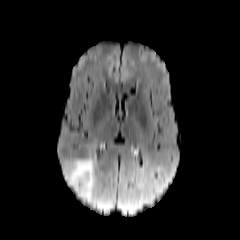
FLAIR MR image.
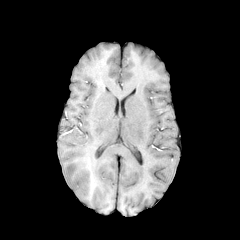
T1-weighted magnetic resonance.
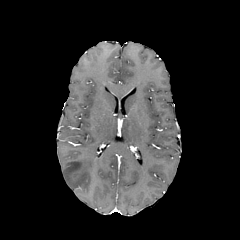
Post-contrast T1-weighted MRI of the same slice.
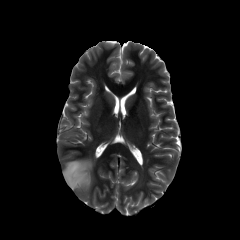
T2-weighted MR.
Head
<segmentation>
  <peritumoral_edema>[x1=63, y1=158, x2=94, y2=200]</peritumoral_edema>
</segmentation>